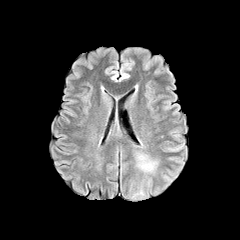
FLAIR magnetic resonance.
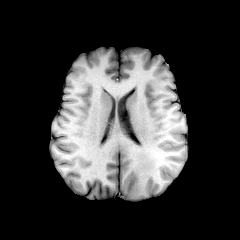
Same slice, T1-weighted magnetic resonance.
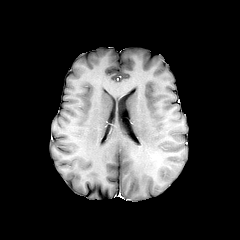
Post-contrast T1-weighted MR image.
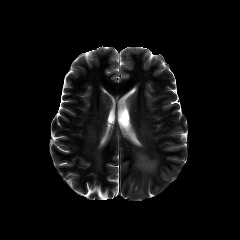
Same slice, T2-weighted magnetic resonance.
Axial slice. Head.
peritumoral_edema:
  - x1=137 y1=154 x2=157 y2=172